Axial view; Image width 240 mm, 1.00 mm slice spacing; Brain
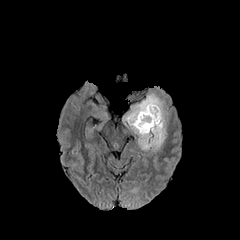
FLAIR MRI.
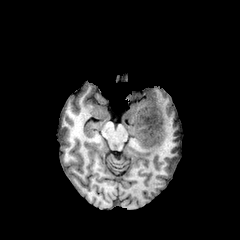
T1-weighted magnetic resonance of the same slice.
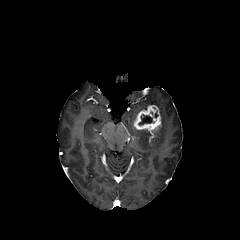
Post-contrast T1-weighted MRI.
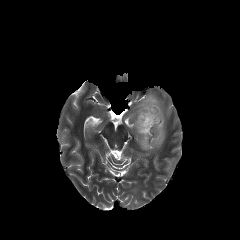
T2-weighted MR image.
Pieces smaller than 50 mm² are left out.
necrotic_tumor_core:
  - (138, 114, 152, 125)
peritumoral_edema:
  - (123, 93, 166, 150)
enhancing_tumor:
  - (133, 105, 161, 131)